Axial view
FLAIR magnetic resonance.
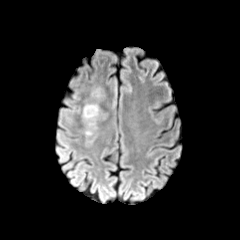
T1-weighted MR.
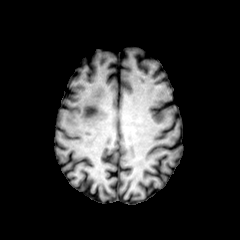
Post-contrast T1-weighted MRI.
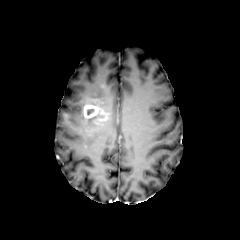
T2-weighted MRI.
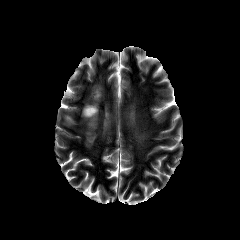
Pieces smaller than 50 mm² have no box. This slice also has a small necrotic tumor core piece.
The enhancing tumor lies within rect(82, 105, 99, 118). The largest peritumoral edema region is located at rect(82, 113, 97, 126).